240x240 px | Axial plane
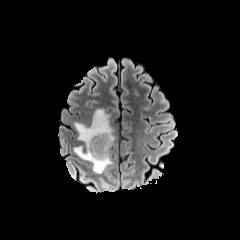
FLAIR MR image.
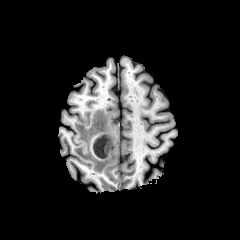
T1-weighted MR image.
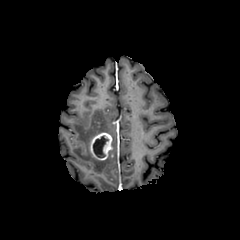
Post-contrast T1-weighted MR.
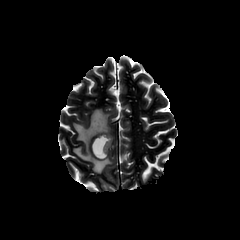
Same slice, T2-weighted MRI.
peritumoral edema: x1=73 y1=109 x2=114 y2=173
enhancing tumor: x1=90 y1=132 x2=112 y2=160
necrotic tumor core: x1=93 y1=136 x2=108 y2=157